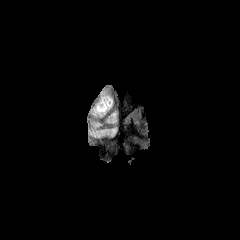
FLAIR magnetic resonance.
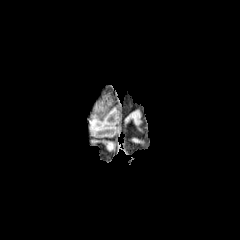
T1-weighted magnetic resonance.
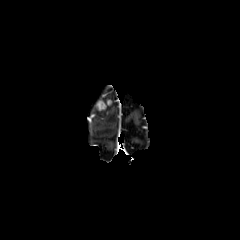
Same slice, post-contrast T1-weighted MR image.
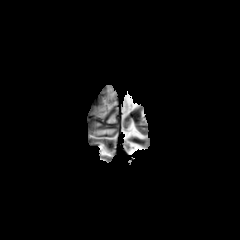
T2-weighted MR.
Axial view, Head
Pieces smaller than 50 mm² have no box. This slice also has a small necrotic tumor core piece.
peritumoral edema: [92,103,112,117], [106,111,117,123], [91,121,116,137] | enhancing tumor: [96,99,106,110]